Image size 240x240. Image width 240 mm, 1.00 mm slice spacing. Axial plane.
FLAIR magnetic resonance.
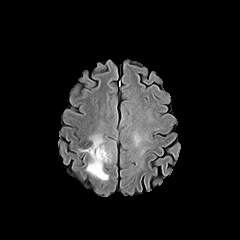
T1-weighted MR image.
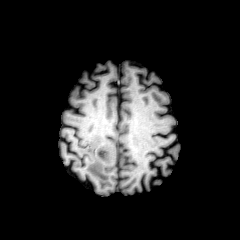
Post-contrast T1-weighted magnetic resonance.
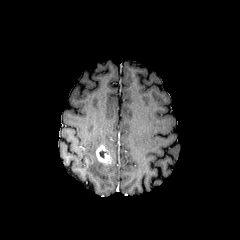
T2-weighted MR image.
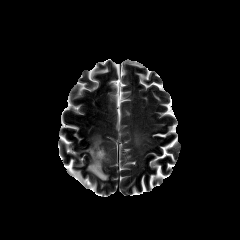
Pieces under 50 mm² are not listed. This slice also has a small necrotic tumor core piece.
The enhancing tumor is bounded by 96:145:111:163. The largest peritumoral edema region lies within 80:134:108:180.